FLAIR magnetic resonance.
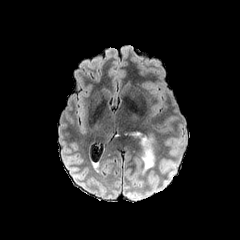
T1-weighted MRI.
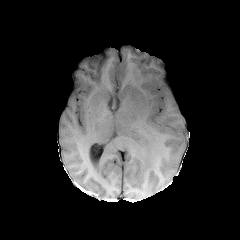
Post-contrast T1-weighted MRI.
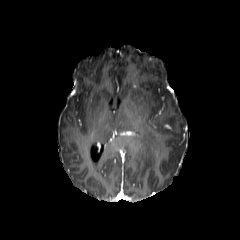
T2-weighted MR image.
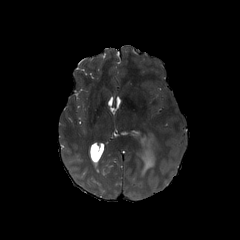
240x240 px; Brain
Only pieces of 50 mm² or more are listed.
<segmentation>
  <peritumoral_edema>{"x1": 126, "y1": 131, "x2": 154, "y2": 176}</peritumoral_edema>
</segmentation>